FLAIR MR.
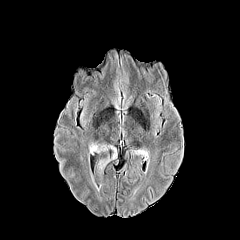
T1-weighted MR.
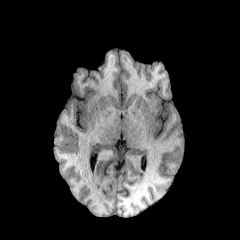
Post-contrast T1-weighted MRI.
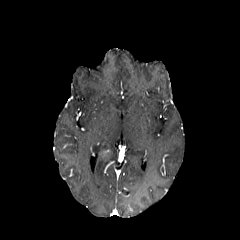
T2-weighted magnetic resonance.
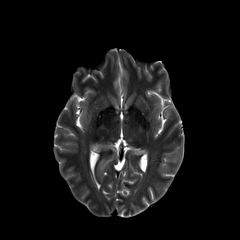
Axial slice
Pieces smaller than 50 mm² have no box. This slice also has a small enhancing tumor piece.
peritumoral_edema:
  - box=[90, 143, 116, 183]